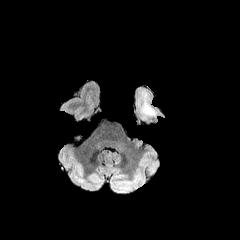
FLAIR magnetic resonance.
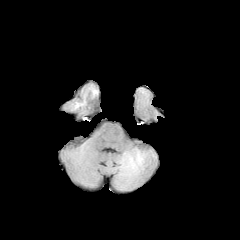
Same slice, T1-weighted MR.
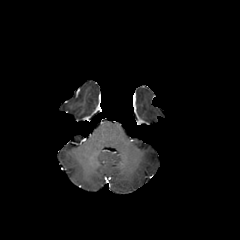
Post-contrast T1-weighted MR image of the same slice.
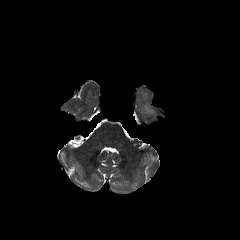
T2-weighted magnetic resonance.
Brain
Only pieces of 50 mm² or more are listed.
{
  "peritumoral_edema": [
    "140 91 155 115"
  ]
}